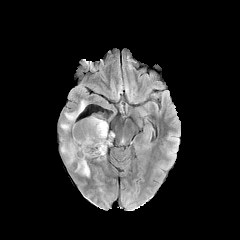
FLAIR MR image.
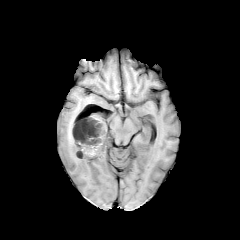
T1-weighted MR.
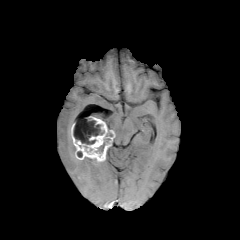
Same slice, post-contrast T1-weighted MR image.
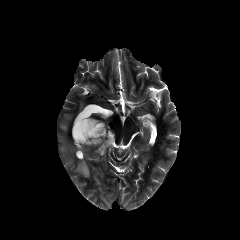
Same slice, T2-weighted MR.
Axial view
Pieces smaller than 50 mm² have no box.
The 3 largest peritumoral edema regions are bounded by <box>61,142,75,163</box>, <box>76,158,90,176</box>, <box>60,101,85,132</box>. The enhancing tumor is located at <box>71,116,115,161</box>. The 2 largest necrotic tumor core regions are bounded by <box>96,138,110,156</box>, <box>73,118,104,144</box>.